240x240 px | Slice 108 of 155
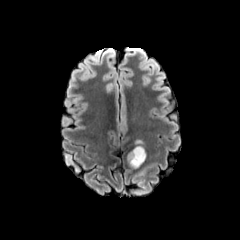
FLAIR MR image.
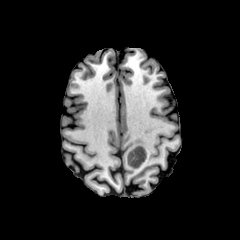
T1-weighted MR.
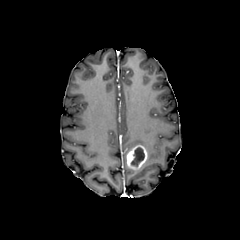
Post-contrast T1-weighted magnetic resonance.
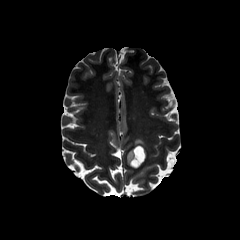
T2-weighted MR image.
necrotic tumor core — {"x1": 131, "y1": 147, "x2": 144, "y2": 165}
enhancing tumor — {"x1": 126, "y1": 145, "x2": 147, "y2": 169}
peritumoral edema — {"x1": 134, "y1": 139, "x2": 144, "y2": 145}